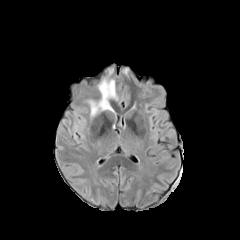
FLAIR magnetic resonance.
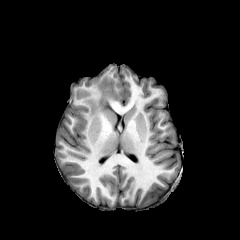
T1-weighted MR.
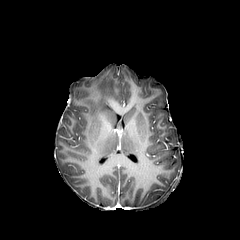
Post-contrast T1-weighted magnetic resonance of the same slice.
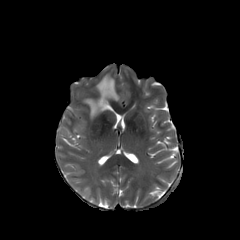
T2-weighted MR.
Head
peritumoral edema = x1=84 y1=73 x2=118 y2=116